FLAIR magnetic resonance.
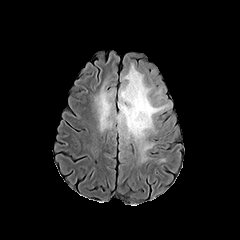
T1-weighted MRI.
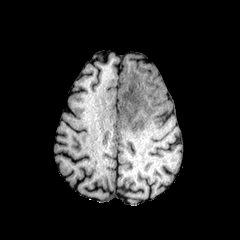
Post-contrast T1-weighted magnetic resonance.
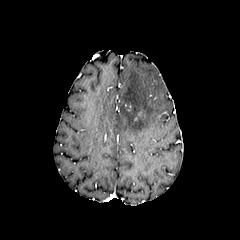
T2-weighted magnetic resonance.
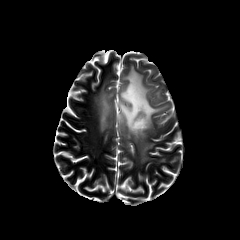
240x240 px | Brain
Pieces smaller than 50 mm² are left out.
necrotic tumor core: bbox=[125, 94, 134, 110] | peritumoral edema: bbox=[95, 84, 114, 131]; bbox=[115, 64, 168, 144]; bbox=[142, 144, 152, 152]